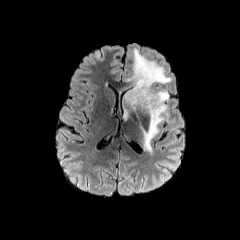
FLAIR magnetic resonance.
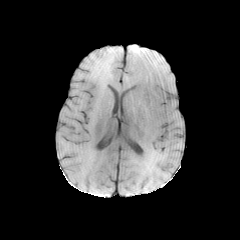
Same slice, T1-weighted MRI.
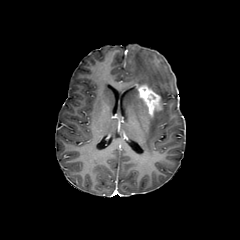
Same slice, post-contrast T1-weighted MR.
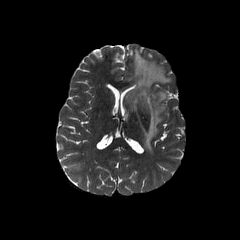
T2-weighted MR of the same slice.
Head; 240x240 px; Axial plane
Segmented structures:
• peritumoral edema: 123, 49, 171, 154
• enhancing tumor: 135, 84, 162, 117